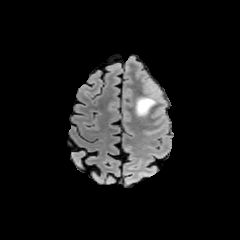
FLAIR magnetic resonance.
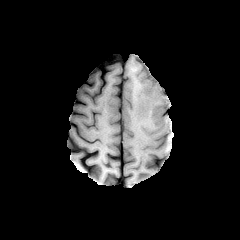
T1-weighted magnetic resonance of the same slice.
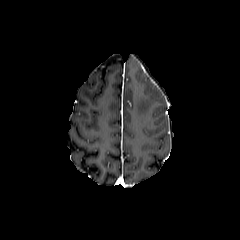
Post-contrast T1-weighted MR.
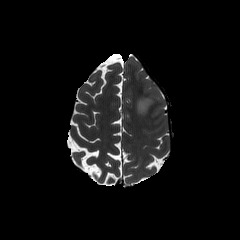
Same slice, T2-weighted MR image.
peritumoral_edema:
  - bbox(136, 97, 155, 115)